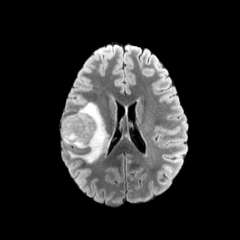
FLAIR magnetic resonance.
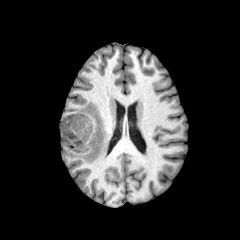
T1-weighted magnetic resonance.
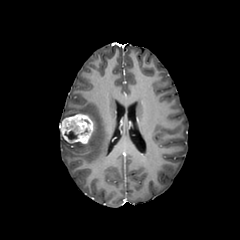
Same slice, post-contrast T1-weighted MR.
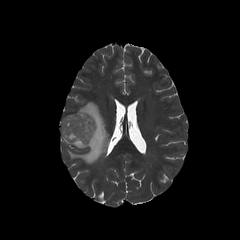
T2-weighted MR.
Axial slice | Brain
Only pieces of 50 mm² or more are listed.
{
  "necrotic_tumor_core": [
    "(65, 131, 77, 140)"
  ],
  "peritumoral_edema": [
    "(62, 102, 109, 163)"
  ],
  "enhancing_tumor": [
    "(60, 113, 93, 144)"
  ]
}